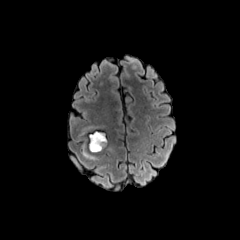
FLAIR magnetic resonance.
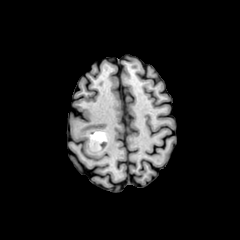
T1-weighted MR of the same slice.
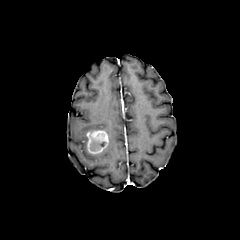
Post-contrast T1-weighted MR image.
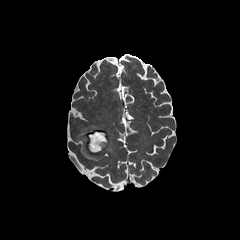
T2-weighted MR image.
Axial plane. Brain.
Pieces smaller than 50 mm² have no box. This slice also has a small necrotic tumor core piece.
2 peritumoral edema regions are located at bbox=[81, 127, 92, 134]; bbox=[82, 150, 94, 158]. The enhancing tumor is located at bbox=[87, 130, 108, 153].